Image width 240 mm | Brain | Slice 115 of 155
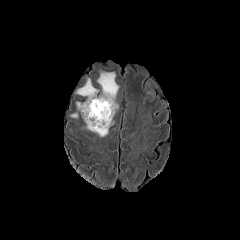
FLAIR MR image.
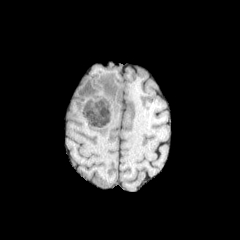
T1-weighted MR image.
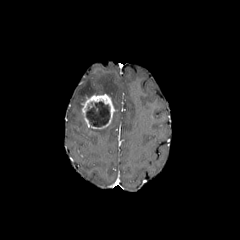
Post-contrast T1-weighted MR image.
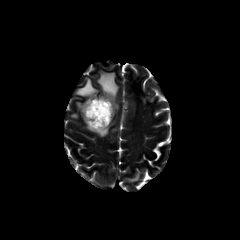
T2-weighted MR.
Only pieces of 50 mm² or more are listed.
The necrotic tumor core is bounded by box=[86, 101, 109, 127]. The largest enhancing tumor region is located at box=[81, 94, 115, 129]. The 3 largest peritumoral edema regions are located at box=[97, 72, 118, 109]; box=[86, 120, 113, 136]; box=[76, 78, 98, 97].